Slice index 80; Axial view; Image width 240 mm
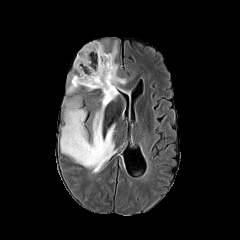
FLAIR MR.
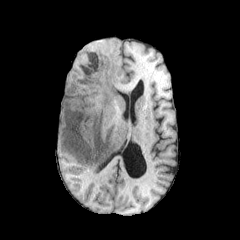
T1-weighted MR image.
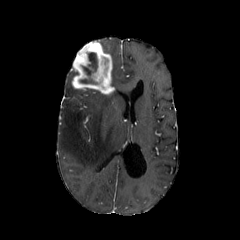
Same slice, post-contrast T1-weighted magnetic resonance.
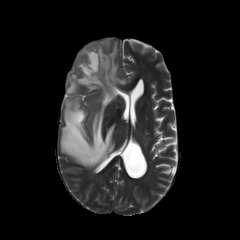
T2-weighted MR of the same slice.
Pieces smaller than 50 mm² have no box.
peritumoral edema: bounding box {"x1": 66, "y1": 72, "x2": 79, "y2": 93}, {"x1": 101, "y1": 42, "x2": 126, "y2": 91}, {"x1": 60, "y1": 88, "x2": 118, "y2": 168}
enhancing tumor: bounding box {"x1": 72, "y1": 41, "x2": 114, "y2": 94}
necrotic tumor core: bounding box {"x1": 82, "y1": 66, "x2": 92, "y2": 75}, {"x1": 80, "y1": 79, "x2": 95, "y2": 83}, {"x1": 88, "y1": 52, "x2": 97, "y2": 71}